FLAIR MR.
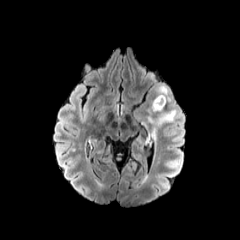
T1-weighted MRI.
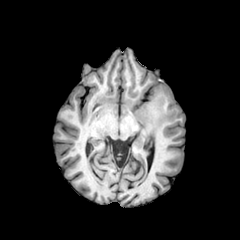
Post-contrast T1-weighted MR image.
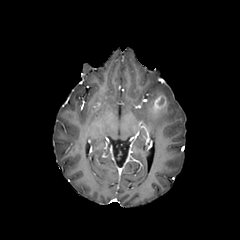
T2-weighted MR image.
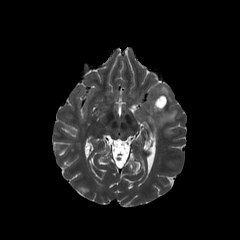
Axial plane
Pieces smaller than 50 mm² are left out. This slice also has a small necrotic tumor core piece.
• peritumoral edema: [148,85,176,128]
• enhancing tumor: [152,96,166,112]